FLAIR MR image.
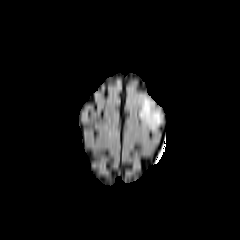
T1-weighted MR image.
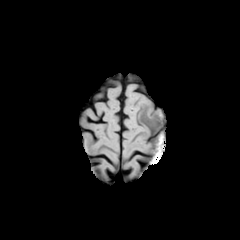
Post-contrast T1-weighted magnetic resonance.
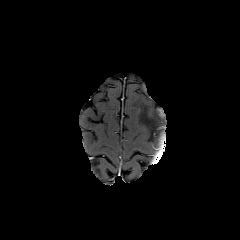
T2-weighted magnetic resonance.
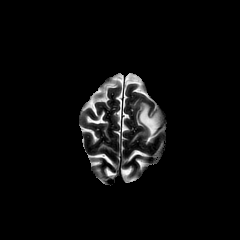
{"peritumoral_edema": ["139:99:161:131"]}